FLAIR magnetic resonance.
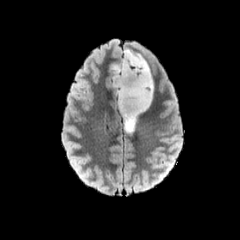
T1-weighted MR.
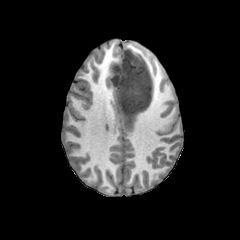
Post-contrast T1-weighted MR image.
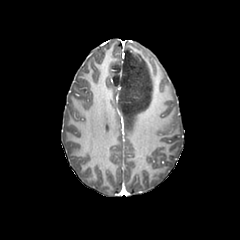
T2-weighted MR.
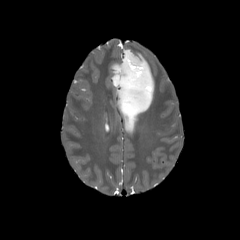
The peritumoral edema is at box=[112, 49, 153, 132].